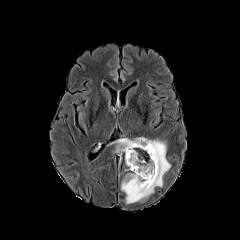
FLAIR magnetic resonance.
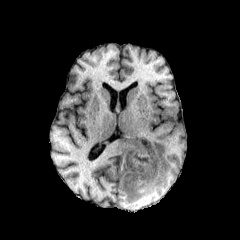
Same slice, T1-weighted magnetic resonance.
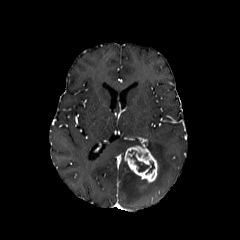
Post-contrast T1-weighted MRI.
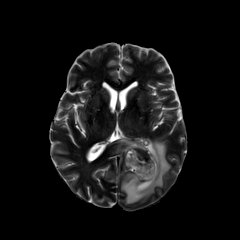
T2-weighted MR image.
Brain
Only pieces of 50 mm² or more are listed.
<segmentation>
  <peritumoral_edema>rect(115, 139, 141, 153); rect(121, 140, 170, 204)</peritumoral_edema>
  <enhancing_tumor>rect(124, 138, 158, 183)</enhancing_tumor>
  <necrotic_tumor_core>rect(130, 154, 149, 171)</necrotic_tumor_core>
</segmentation>